Brain
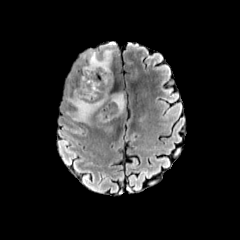
FLAIR MR.
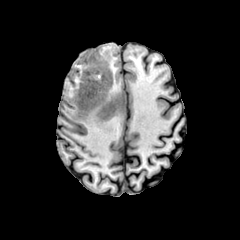
T1-weighted magnetic resonance.
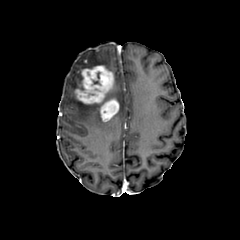
Post-contrast T1-weighted MR image.
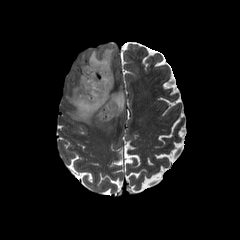
T2-weighted MRI.
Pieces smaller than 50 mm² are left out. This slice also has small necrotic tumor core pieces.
The 2 largest peritumoral edema regions are located at [x1=68, y1=93, x2=124, y2=123], [x1=82, y1=49, x2=113, y2=70]. 2 enhancing tumor regions are located at [x1=74, y1=65, x2=113, y2=104], [x1=100, y1=98, x2=119, y2=121].